FLAIR MR image.
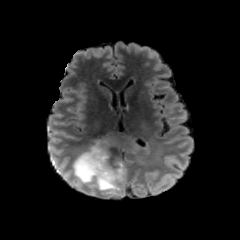
T1-weighted magnetic resonance.
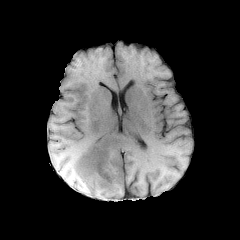
Post-contrast T1-weighted MRI.
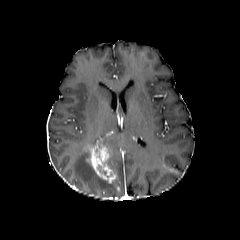
T2-weighted MRI.
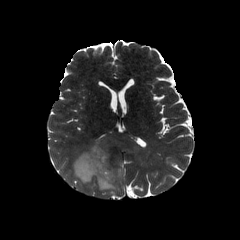
240x240 px
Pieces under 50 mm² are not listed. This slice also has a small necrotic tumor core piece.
peritumoral edema at <box>72,141,124,192</box>
enhancing tumor at <box>87,146,117,184</box>